Slice index 56. Head.
FLAIR MR image.
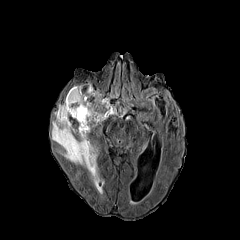
T1-weighted MRI.
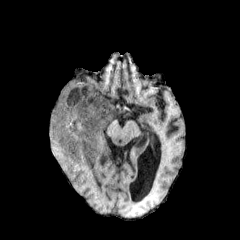
Post-contrast T1-weighted MR image.
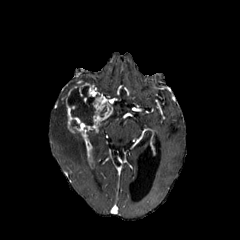
T2-weighted MR.
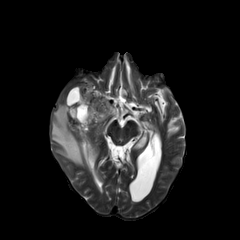
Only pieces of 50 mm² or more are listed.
The largest necrotic tumor core region is bounded by [67,86,98,125]. The largest peritumoral edema region is bounded by [51,100,98,183]. The largest enhancing tumor region appears at [66,83,113,159].